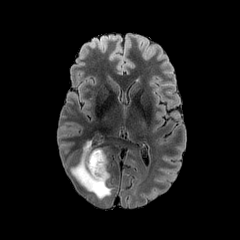
FLAIR MRI.
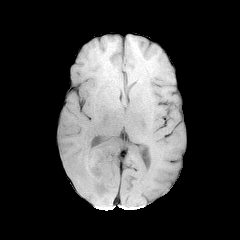
T1-weighted magnetic resonance.
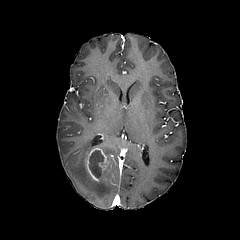
Post-contrast T1-weighted MRI.
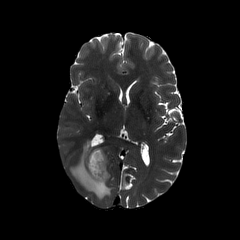
T2-weighted magnetic resonance.
Axial slice; Brain; 240x240
necrotic_tumor_core:
  - <bbox>89, 150, 103, 178</bbox>
peritumoral_edema:
  - <bbox>70, 141, 112, 199</bbox>
enhancing_tumor:
  - <bbox>85, 148, 107, 182</bbox>